Head | 240x240 px
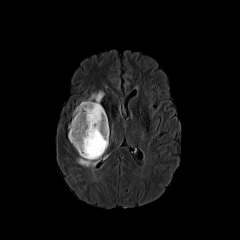
FLAIR magnetic resonance.
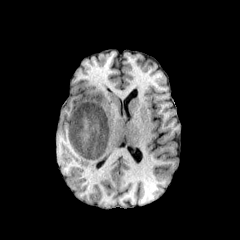
T1-weighted MR.
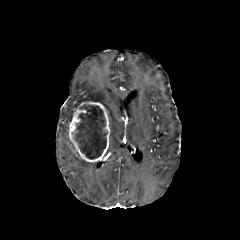
Same slice, post-contrast T1-weighted MR image.
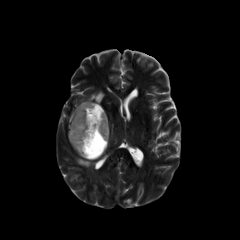
Same slice, T2-weighted MR image.
Findings:
* peritumoral edema: x1=77 y1=157 x2=97 y2=168, x1=82 y1=90 x2=104 y2=102
* necrotic tumor core: x1=75 y1=105 x2=107 y2=159
* enhancing tumor: x1=69 y1=101 x2=109 y2=162